FLAIR magnetic resonance.
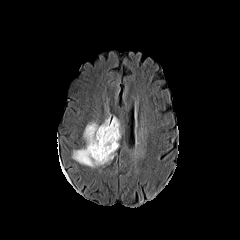
T1-weighted MRI.
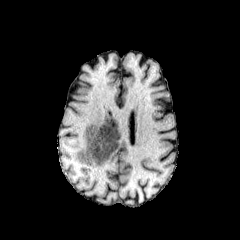
Post-contrast T1-weighted MRI.
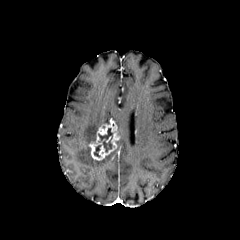
T2-weighted MR.
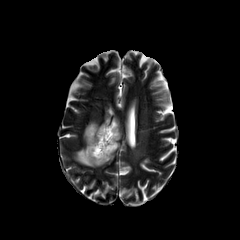
240x240. Axial slice.
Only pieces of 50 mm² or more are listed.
peritumoral edema at x1=113, y1=117, x2=121, y2=137; x1=73, y1=122, x2=115, y2=167
enhancing tumor at x1=88, y1=120, x2=119, y2=160
necrotic tumor core at x1=98, y1=128, x2=112, y2=152; x1=94, y1=145, x2=101, y2=157